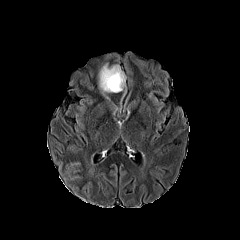
FLAIR MR.
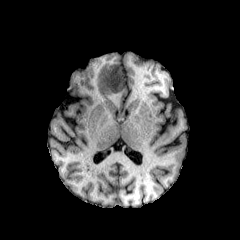
Same slice, T1-weighted MR.
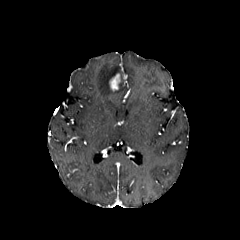
Post-contrast T1-weighted MRI of the same slice.
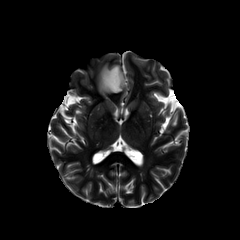
T2-weighted magnetic resonance.
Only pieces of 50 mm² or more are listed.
Annotated regions:
- enhancing tumor: (109, 73, 120, 91)
- peritumoral edema: (98, 63, 125, 95)